FLAIR MRI.
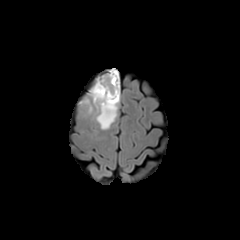
T1-weighted magnetic resonance.
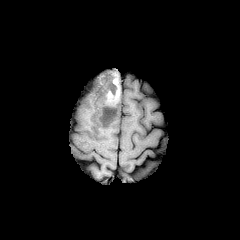
Post-contrast T1-weighted MR.
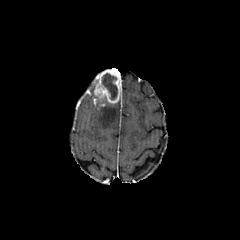
T2-weighted MR image.
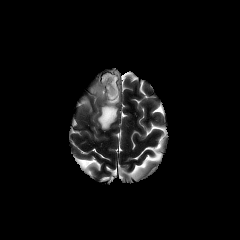
Image size 240x240, Head
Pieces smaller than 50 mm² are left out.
Segmented structures:
• enhancing tumor: x1=93, y1=70, x2=119, y2=106
• necrotic tumor core: x1=102, y1=73, x2=117, y2=99
• peritumoral edema: x1=95, y1=102, x2=118, y2=129; x1=82, y1=99, x2=92, y2=112